FLAIR MR.
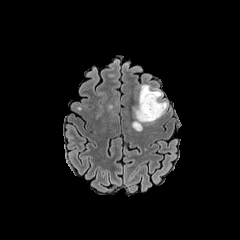
T1-weighted MR.
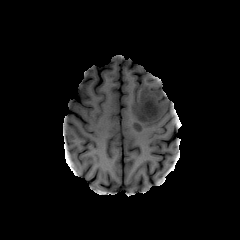
Post-contrast T1-weighted MR.
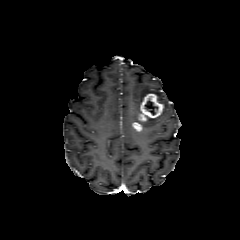
T2-weighted MR image.
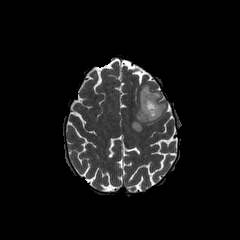
Head, Axial slice, Image size 240x240
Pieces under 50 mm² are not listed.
necrotic_tumor_core:
  - left=145, top=99, right=157, bottom=115
peritumoral_edema:
  - left=132, top=85, right=161, bottom=123
  - left=141, top=101, right=166, bottom=124
enhancing_tumor:
  - left=132, top=94, right=163, bottom=130